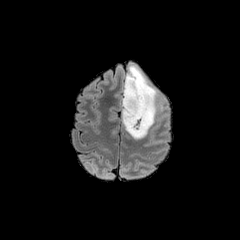
FLAIR MR image.
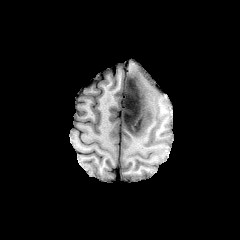
T1-weighted MRI.
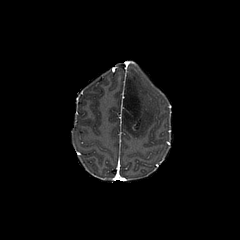
Same slice, post-contrast T1-weighted MRI.
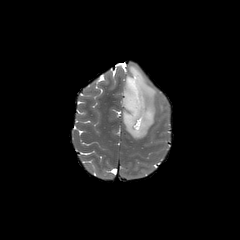
T2-weighted magnetic resonance of the same slice.
Axial view
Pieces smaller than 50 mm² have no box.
necrotic tumor core — left=123, top=74, right=142, bottom=135
peritumoral edema — left=129, top=65, right=156, bottom=139